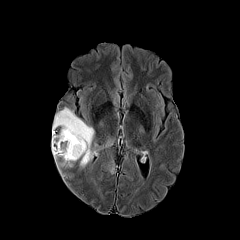
FLAIR magnetic resonance.
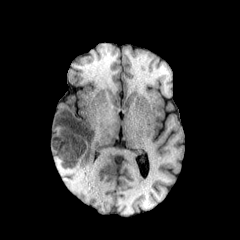
T1-weighted magnetic resonance.
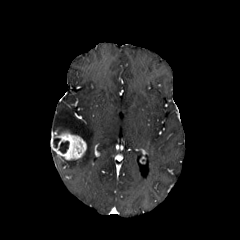
Post-contrast T1-weighted MRI.
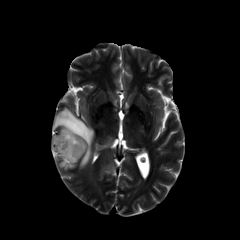
T2-weighted magnetic resonance.
Image size 240x240
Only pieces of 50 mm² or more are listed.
necrotic tumor core at <bbox>53, 138, 60, 147</bbox>, <bbox>59, 141, 69, 153</bbox>
enhancing tumor at <bbox>51, 131, 86, 160</bbox>
peritumoral edema at <bbox>52, 107, 94, 167</bbox>, <bbox>60, 158, 77, 167</bbox>